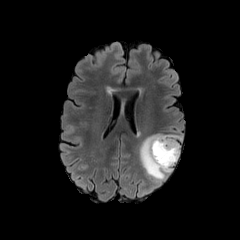
FLAIR MRI.
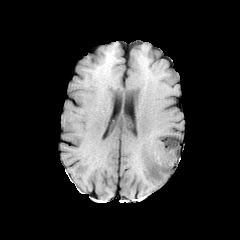
T1-weighted MR.
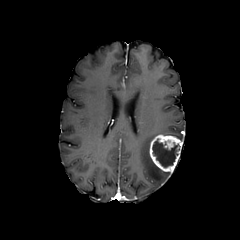
Post-contrast T1-weighted magnetic resonance.
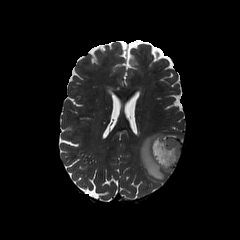
T2-weighted magnetic resonance of the same slice.
Axial view | Brain
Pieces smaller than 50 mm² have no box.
The largest peritumoral edema region is at [x1=139, y1=133, x2=182, y2=182]. The necrotic tumor core appears at [x1=152, y1=139, x2=179, y2=167]. The enhancing tumor appears at [x1=149, y1=135, x2=181, y2=172].